FLAIR magnetic resonance.
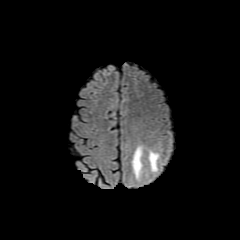
T1-weighted MR.
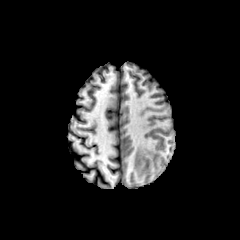
Post-contrast T1-weighted MR.
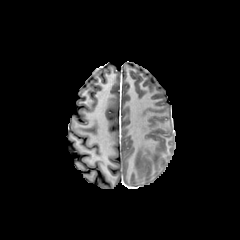
T2-weighted MR image.
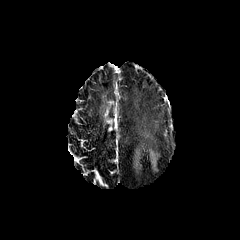
Brain
The peritumoral edema lies within x1=132 y1=145 x2=159 y2=179.